Axial slice
FLAIR magnetic resonance.
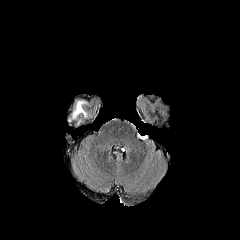
T1-weighted MR image.
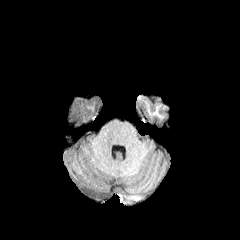
Post-contrast T1-weighted MR image.
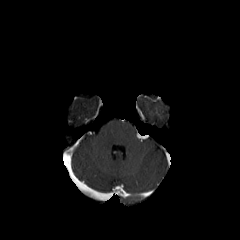
T2-weighted magnetic resonance.
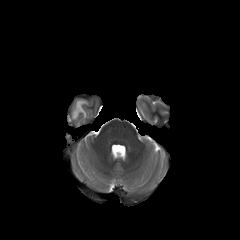
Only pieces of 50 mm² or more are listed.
peritumoral edema at region(72, 100, 87, 119)